Axial view | Slice index 81
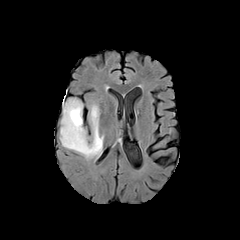
FLAIR magnetic resonance.
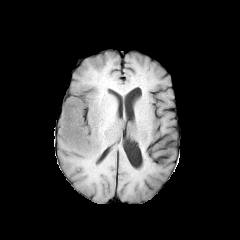
T1-weighted MR image.
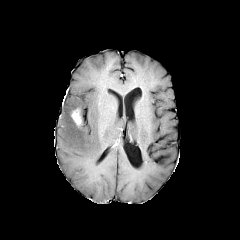
Post-contrast T1-weighted MR image.
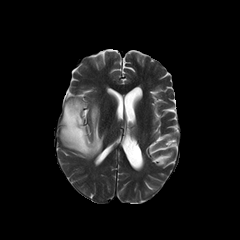
T2-weighted MRI of the same slice.
Segmented structures:
- enhancing tumor: 71:108:81:126
- peritumoral edema: 60:98:103:159